FLAIR MR image.
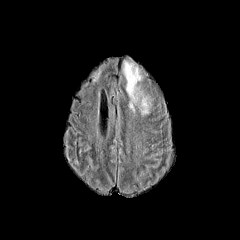
T1-weighted MRI.
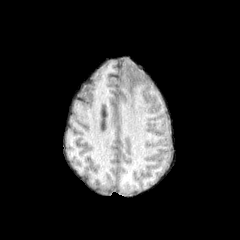
Post-contrast T1-weighted MRI.
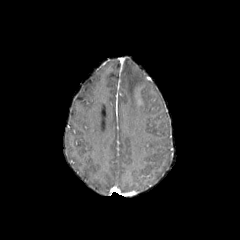
T2-weighted magnetic resonance.
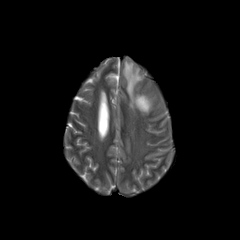
Axial slice; Brain
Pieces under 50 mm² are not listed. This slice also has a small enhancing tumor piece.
peritumoral edema — rect(122, 60, 150, 114)